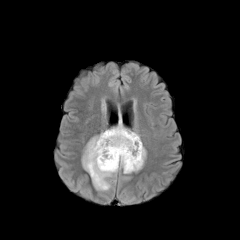
FLAIR MRI.
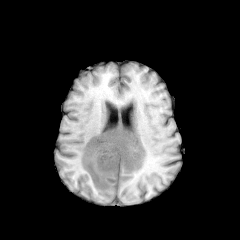
T1-weighted MR of the same slice.
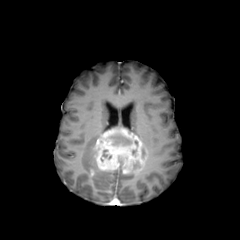
Post-contrast T1-weighted magnetic resonance.
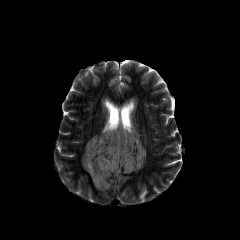
T2-weighted MR of the same slice.
240x240 px
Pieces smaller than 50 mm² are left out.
The largest enhancing tumor region lies within x1=94, y1=127, x2=143, y2=173. The largest necrotic tumor core region lies within x1=110, y1=134, x2=131, y2=144. The 3 largest peritumoral edema regions are located at x1=142, y1=143, x2=146, y2=162; x1=82, y1=132, x2=118, y2=190; x1=132, y1=161, x2=143, y2=171.